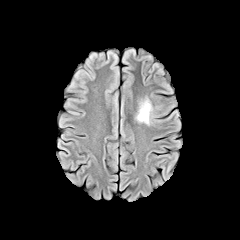
FLAIR MR.
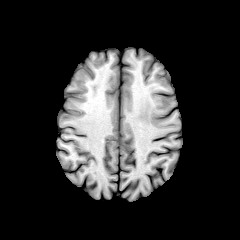
T1-weighted MRI of the same slice.
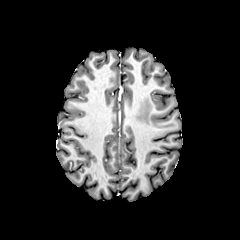
Post-contrast T1-weighted magnetic resonance of the same slice.
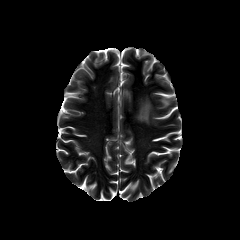
T2-weighted MR image.
Axial view, 240x240 px, Brain
{
  "peritumoral_edema": [
    "rect(136, 99, 151, 125)"
  ]
}